FLAIR MR image.
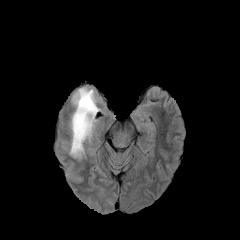
T1-weighted MR image.
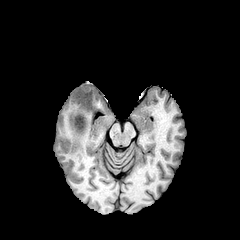
Post-contrast T1-weighted MRI.
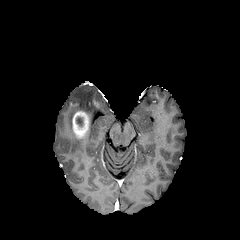
T2-weighted MRI.
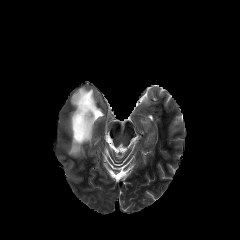
Head
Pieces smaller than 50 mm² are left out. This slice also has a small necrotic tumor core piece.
The enhancing tumor appears at [72, 110, 90, 139]. The peritumoral edema is at [69, 87, 99, 157].